Image covers 240 mm x 240 mm; 240x240
FLAIR magnetic resonance.
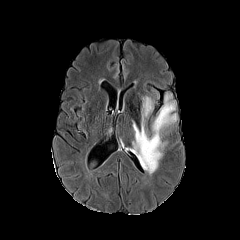
T1-weighted MR.
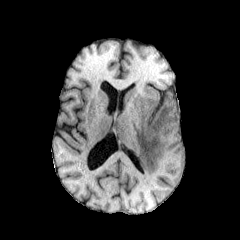
Post-contrast T1-weighted magnetic resonance.
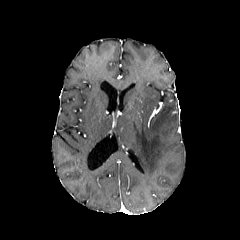
T2-weighted MRI.
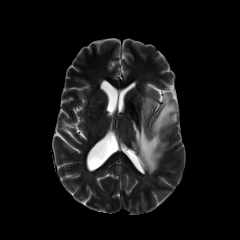
peritumoral edema at 131, 94, 177, 174